Brain
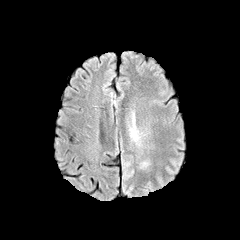
FLAIR MRI.
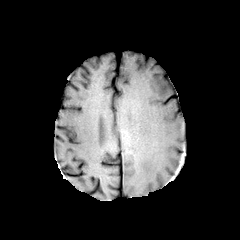
T1-weighted magnetic resonance of the same slice.
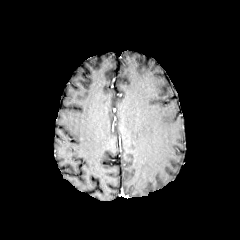
Post-contrast T1-weighted MR of the same slice.
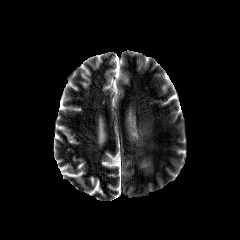
T2-weighted MR image.
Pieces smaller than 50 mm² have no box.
The largest peritumoral edema region is located at (131, 129, 138, 139).